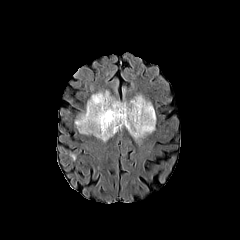
FLAIR MRI.
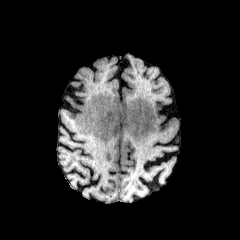
Same slice, T1-weighted MR.
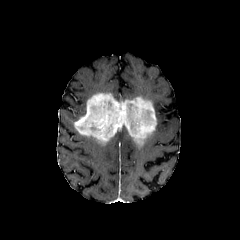
Post-contrast T1-weighted MRI of the same slice.
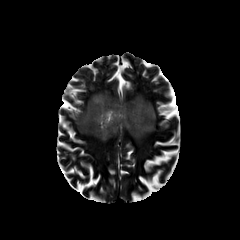
Same slice, T2-weighted MRI.
Axial slice.
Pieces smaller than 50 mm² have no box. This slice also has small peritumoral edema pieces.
Segmented structures:
• enhancing tumor: x1=74 y1=93 x2=156 y2=145